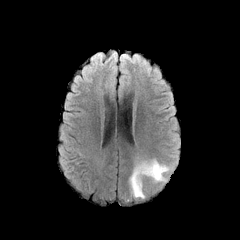
FLAIR MR.
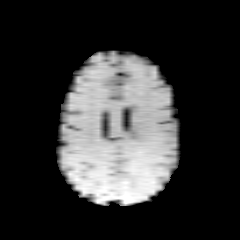
T1-weighted MR.
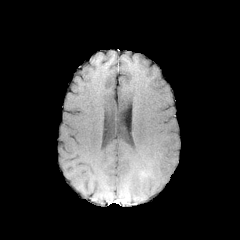
Post-contrast T1-weighted MR of the same slice.
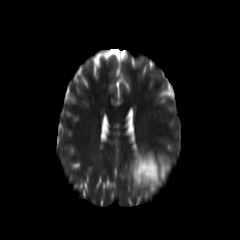
T2-weighted MR image.
Axial plane
peritumoral edema at [129,156,170,198]